Brain; Slice index 66
FLAIR MR.
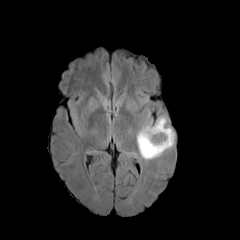
T1-weighted MRI.
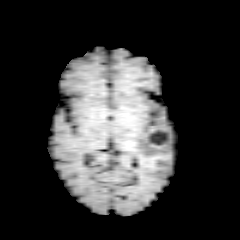
Post-contrast T1-weighted magnetic resonance.
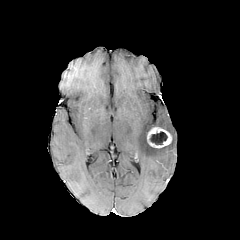
T2-weighted MR.
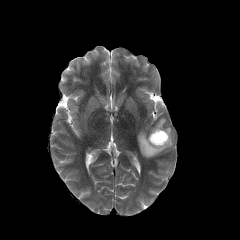
<segmentation>
  <enhancing_tumor>{"x1": 147, "y1": 127, "x2": 172, "y2": 148}</enhancing_tumor>
  <peritumoral_edema>{"x1": 137, "y1": 117, "x2": 174, "y2": 159}</peritumoral_edema>
  <necrotic_tumor_core>{"x1": 150, "y1": 131, "x2": 167, "y2": 144}</necrotic_tumor_core>
</segmentation>